FLAIR magnetic resonance.
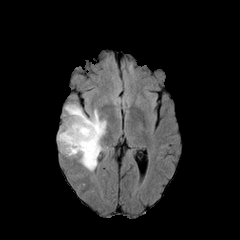
T1-weighted MR.
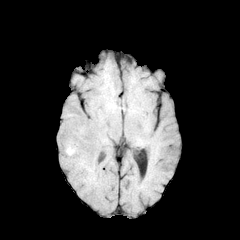
Post-contrast T1-weighted magnetic resonance.
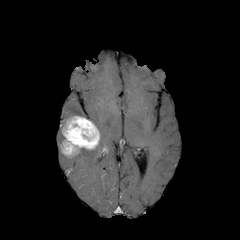
T2-weighted MRI.
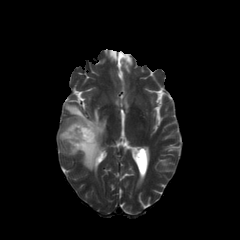
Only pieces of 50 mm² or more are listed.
The enhancing tumor is located at {"x1": 60, "y1": 116, "x2": 99, "y2": 156}. The 2 largest peritumoral edema regions appear at {"x1": 57, "y1": 128, "x2": 64, "y2": 145}, {"x1": 65, "y1": 104, "x2": 106, "y2": 171}.